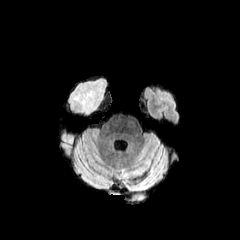
FLAIR MRI.
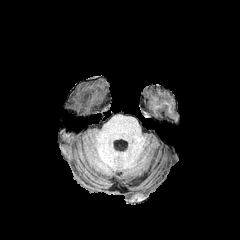
T1-weighted MRI of the same slice.
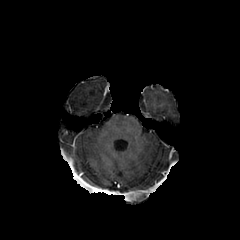
Post-contrast T1-weighted MR.
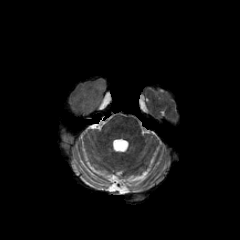
T2-weighted MRI.
Axial slice | 240x240
Segmented structures:
* peritumoral edema: box=[68, 78, 106, 115]